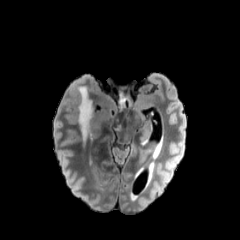
FLAIR MRI.
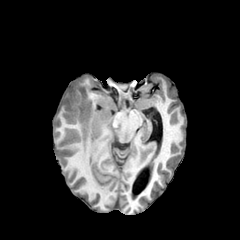
T1-weighted MRI.
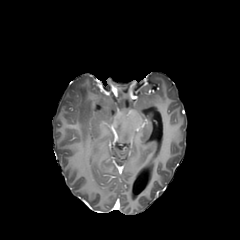
Post-contrast T1-weighted MR.
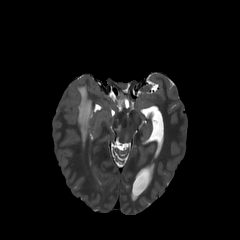
T2-weighted magnetic resonance of the same slice.
Head, Image size 240x240
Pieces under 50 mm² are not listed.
Segmented structures:
• peritumoral edema: left=119, top=96, right=125, bottom=110; left=72, top=82, right=91, bottom=139